FLAIR magnetic resonance.
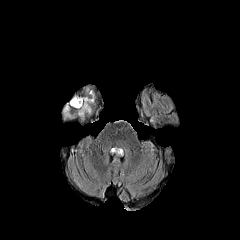
T1-weighted MR.
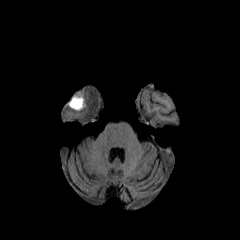
Post-contrast T1-weighted MRI.
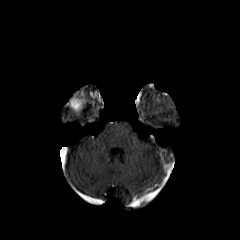
T2-weighted MR.
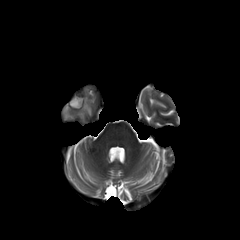
Brain. Axial view.
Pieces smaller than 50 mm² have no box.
Findings:
* peritumoral edema: [78,103,91,117], [63,105,72,117]
* enhancing tumor: [79,91,97,107]
* necrotic tumor core: [69,96,83,110]